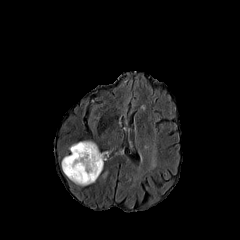
FLAIR magnetic resonance.
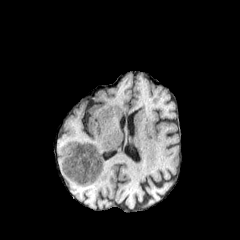
T1-weighted MR image of the same slice.
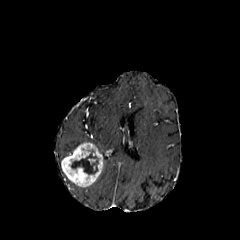
Same slice, post-contrast T1-weighted MRI.
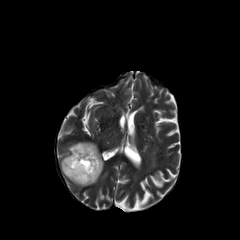
T2-weighted MR.
Brain
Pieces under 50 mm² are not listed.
necrotic tumor core — (x1=71, y1=153, x2=98, y2=174)
peritumoral edema — (x1=69, y1=141, x2=92, y2=152)
enhancing tumor — (x1=61, y1=142, x2=103, y2=186)